FLAIR magnetic resonance.
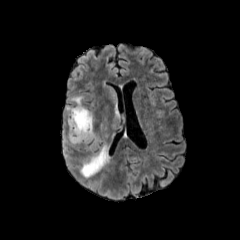
T1-weighted MR.
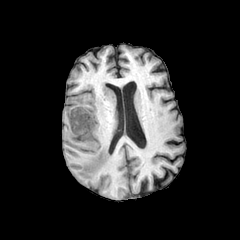
Post-contrast T1-weighted magnetic resonance.
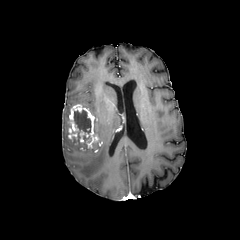
T2-weighted MRI.
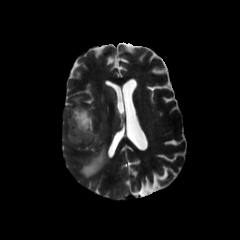
240x240 px. Head.
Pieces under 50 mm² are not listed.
necrotic tumor core = rect(74, 110, 91, 133)
peritumoral edema = rect(80, 82, 121, 177); rect(63, 130, 73, 157); rect(70, 96, 82, 104); rect(65, 106, 72, 125)
enhancing tumor = rect(67, 104, 99, 150)